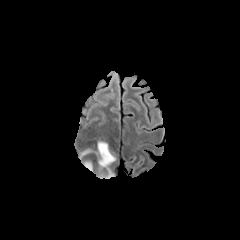
FLAIR MR.
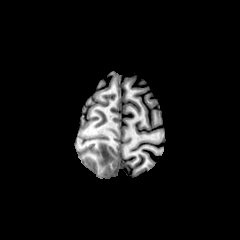
T1-weighted MRI.
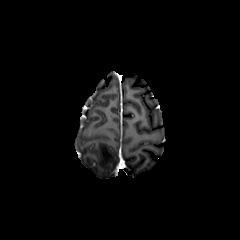
Post-contrast T1-weighted MR image.
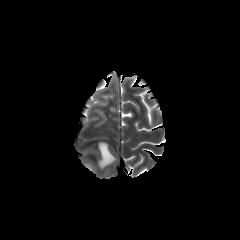
Same slice, T2-weighted magnetic resonance.
Brain.
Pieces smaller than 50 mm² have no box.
peritumoral_edema:
  - [98, 142, 115, 178]
  - [84, 161, 92, 170]